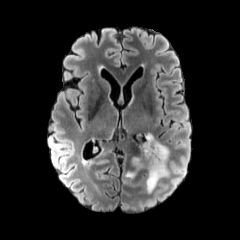
FLAIR MR.
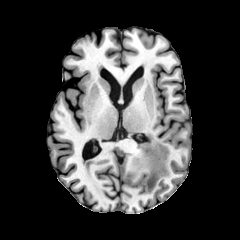
T1-weighted MR image.
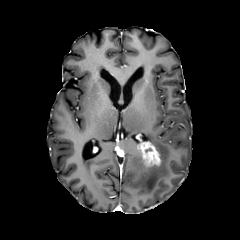
Same slice, post-contrast T1-weighted MR.
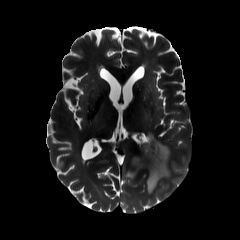
Same slice, T2-weighted MR.
Image size 240x240. Brain. Axial slice.
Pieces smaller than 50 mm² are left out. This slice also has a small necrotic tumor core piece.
enhancing tumor: x1=138 y1=141 x2=160 y2=167
peritumoral edema: x1=126 y1=134 x2=169 y2=193